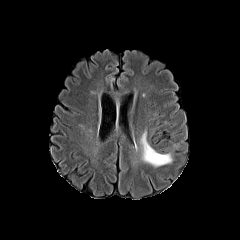
FLAIR MR.
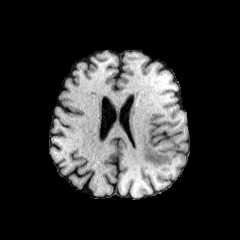
T1-weighted magnetic resonance.
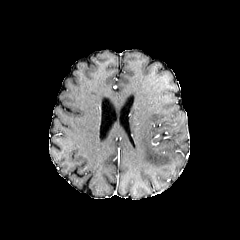
Same slice, post-contrast T1-weighted MR.
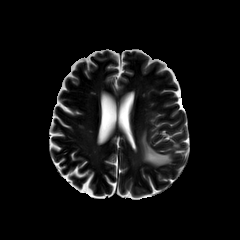
T2-weighted MR image.
Axial view; 240x240 px
peritumoral_edema:
  - region(140, 129, 172, 168)